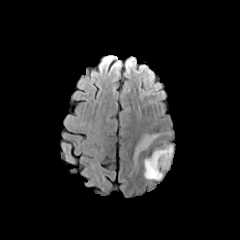
FLAIR MRI.
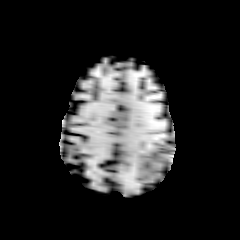
T1-weighted MR image of the same slice.
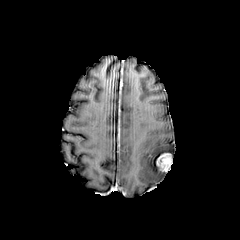
Post-contrast T1-weighted MR of the same slice.
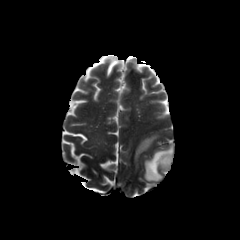
T2-weighted magnetic resonance.
Head
{"enhancing_tumor": ["(left=156, top=153, right=171, bottom=170)"], "peritumoral_edema": ["(left=134, top=135, right=155, bottom=164)", "(left=144, top=145, right=173, bottom=180)"]}